Brain.
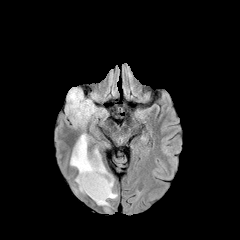
FLAIR MR image.
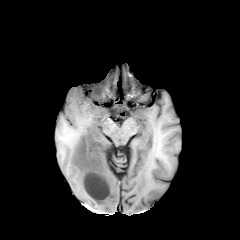
T1-weighted magnetic resonance of the same slice.
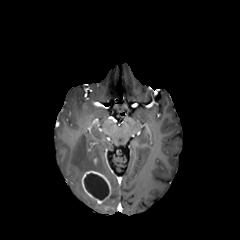
Same slice, post-contrast T1-weighted MRI.
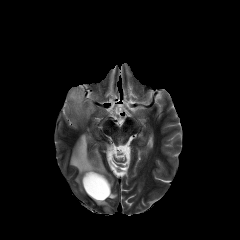
T2-weighted magnetic resonance of the same slice.
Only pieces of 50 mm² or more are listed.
The necrotic tumor core is located at x1=84 y1=173 x2=109 y2=200. The largest enhancing tumor region is located at x1=81 y1=170 x2=111 y2=203. The 3 largest peritumoral edema regions are located at x1=97 y1=200 x2=110 y2=211, x1=66 y1=87 x2=96 y2=125, x1=70 y1=133 x2=117 y2=198.